Brain, Axial slice, Slice 72/155
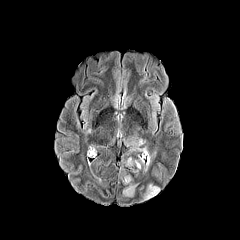
FLAIR MR image.
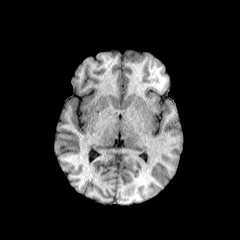
T1-weighted magnetic resonance.
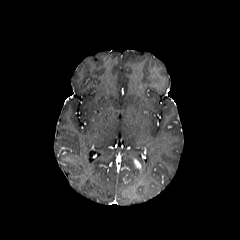
Post-contrast T1-weighted magnetic resonance.
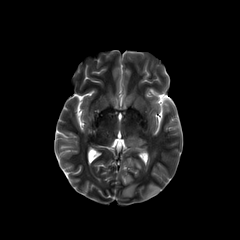
T2-weighted MRI.
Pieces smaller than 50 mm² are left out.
<segmentation>
  <peritumoral_edema>(x1=145, y1=184, x2=159, y2=198), (x1=126, y1=157, x2=133, y2=165), (x1=123, y1=184, x2=136, y2=196), (x1=125, y1=138, x2=144, y2=147)</peritumoral_edema>
  <enhancing_tumor>(x1=133, y1=159, x2=141, y2=169)</enhancing_tumor>
</segmentation>